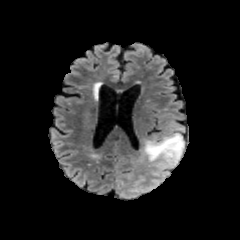
FLAIR magnetic resonance.
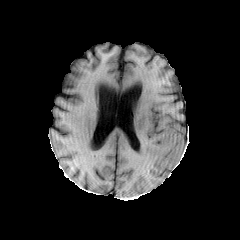
T1-weighted MRI of the same slice.
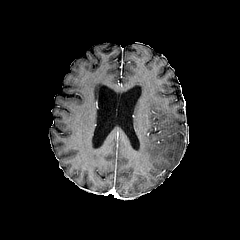
Post-contrast T1-weighted MRI.
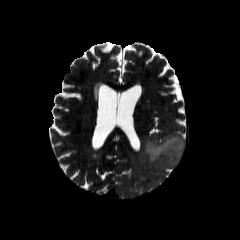
T2-weighted MR of the same slice.
Axial plane
peritumoral edema: 143, 133, 184, 170